FLAIR MR image.
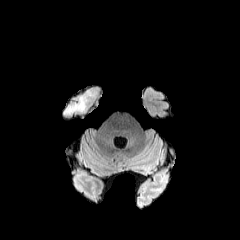
T1-weighted magnetic resonance.
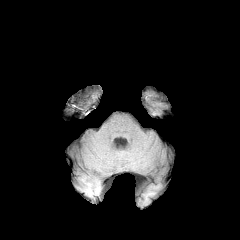
Post-contrast T1-weighted MRI.
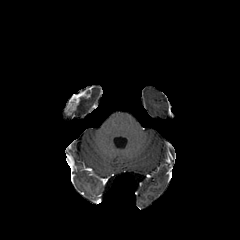
T2-weighted magnetic resonance.
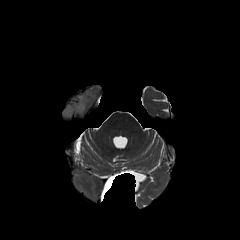
Axial view. Head.
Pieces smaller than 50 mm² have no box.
<segmentation>
  <enhancing_tumor>x1=65 y1=90 x2=90 y2=115</enhancing_tumor>
  <peritumoral_edema>x1=75 y1=89 x2=93 y2=113</peritumoral_edema>
</segmentation>